FLAIR MRI.
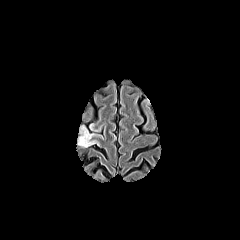
T1-weighted MR image.
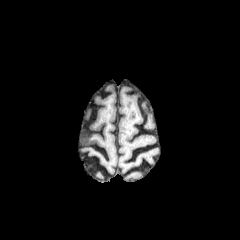
Post-contrast T1-weighted magnetic resonance.
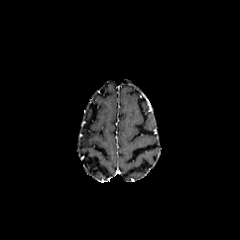
T2-weighted MRI.
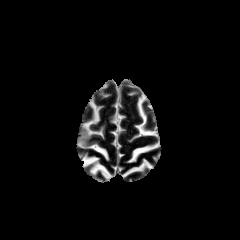
Head
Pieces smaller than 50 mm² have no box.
peritumoral edema at (80, 126, 95, 147)